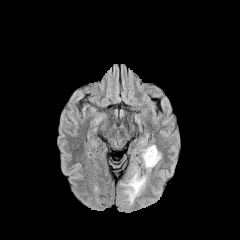
FLAIR magnetic resonance.
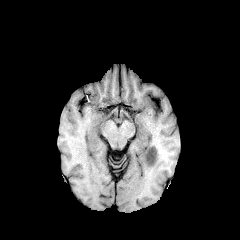
T1-weighted MR image.
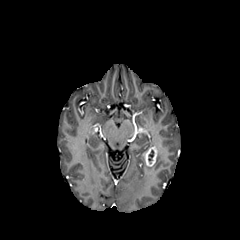
Same slice, post-contrast T1-weighted MR image.
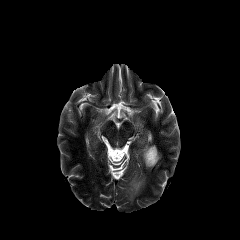
T2-weighted MR.
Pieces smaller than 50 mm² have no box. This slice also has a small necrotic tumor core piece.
peritumoral edema — box=[122, 167, 146, 202]; box=[141, 145, 161, 170]
enhancing tumor — box=[143, 146, 157, 166]